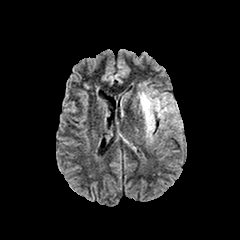
FLAIR MR image.
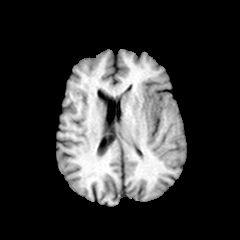
T1-weighted magnetic resonance of the same slice.
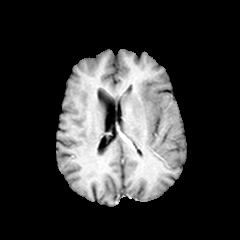
Post-contrast T1-weighted MRI.
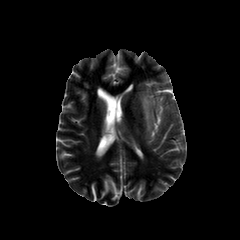
Same slice, T2-weighted magnetic resonance.
Axial view, Head, 240x240 px
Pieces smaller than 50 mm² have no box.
peritumoral edema at l=138, t=89, r=174, b=140